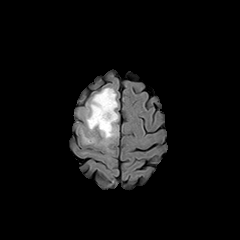
FLAIR MR image.
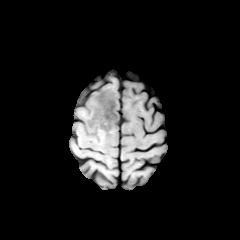
T1-weighted magnetic resonance.
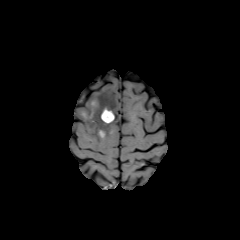
Post-contrast T1-weighted MRI.
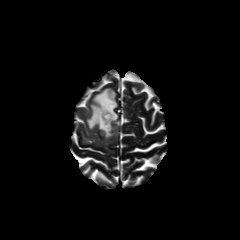
Same slice, T2-weighted magnetic resonance.
Axial slice; Image size 240x240; Head
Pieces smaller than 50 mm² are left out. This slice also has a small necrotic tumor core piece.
peritumoral edema: {"x1": 85, "y1": 87, "x2": 118, "y2": 146}, {"x1": 81, "y1": 132, "x2": 95, "y2": 143}
enhancing tumor: {"x1": 101, "y1": 107, "x2": 114, "y2": 123}